Image width 240 mm | Axial view | Slice index 117 | Brain
FLAIR magnetic resonance.
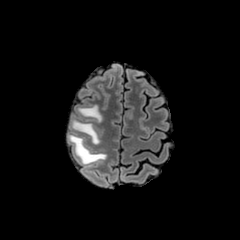
T1-weighted MRI.
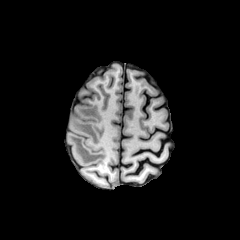
Post-contrast T1-weighted magnetic resonance.
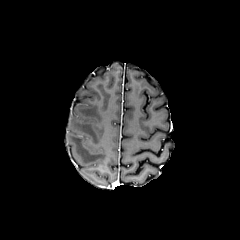
T2-weighted magnetic resonance.
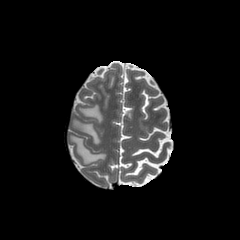
peritumoral edema at 69, 135, 106, 164; 72, 119, 99, 144; 79, 105, 102, 122